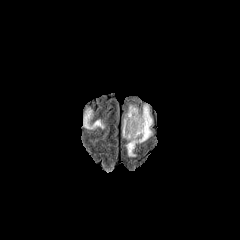
FLAIR MRI.
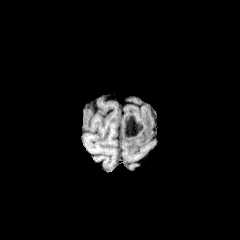
T1-weighted MR.
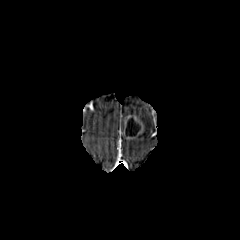
Post-contrast T1-weighted MR image of the same slice.
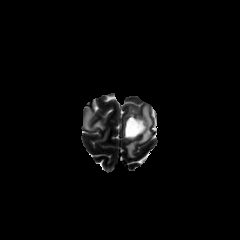
T2-weighted MRI of the same slice.
240x240, Brain, Axial slice
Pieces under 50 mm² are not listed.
• peritumoral edema: 126,106,138,115; 84,111,104,128; 126,105,152,156
• necrotic tumor core: 125,117,140,136
• enhancing tumor: 123,114,144,139